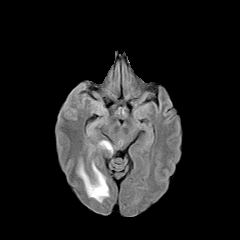
FLAIR MR.
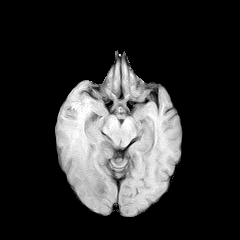
Same slice, T1-weighted MR image.
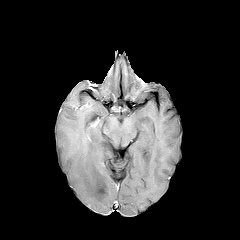
Post-contrast T1-weighted magnetic resonance.
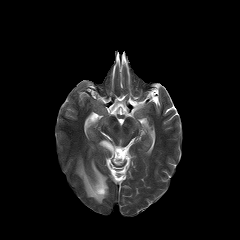
Same slice, T2-weighted MR.
2 peritumoral edema regions are located at [78,163,108,202], [99,140,113,153].